FLAIR MR image.
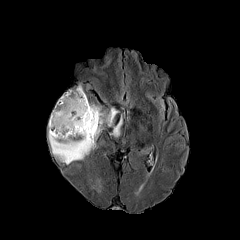
T1-weighted MR.
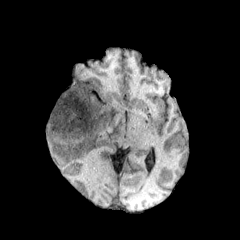
Post-contrast T1-weighted MR.
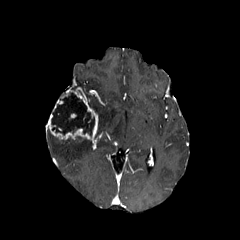
T2-weighted MR.
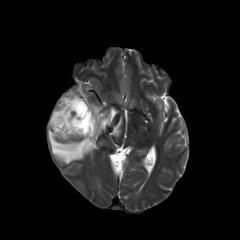
Head. Axial slice.
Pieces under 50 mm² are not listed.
The necrotic tumor core is at (left=51, top=92, right=94, bottom=135). The 3 largest peritumoral edema regions are bounded by (left=48, top=129, right=93, bottom=164), (left=88, top=102, right=118, bottom=138), (left=110, top=116, right=122, bottom=136). The largest enhancing tumor region lies within (left=47, top=87, right=98, bottom=144).